Head. Slice 80/155. Axial slice. Image covers 240 mm x 240 mm.
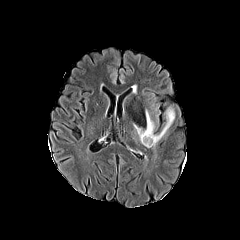
FLAIR MR.
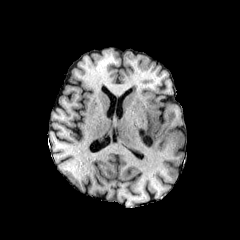
T1-weighted MRI.
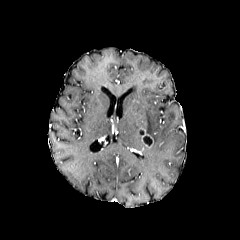
Post-contrast T1-weighted magnetic resonance of the same slice.
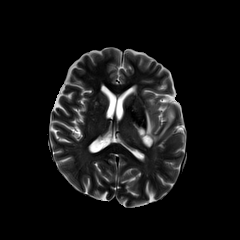
T2-weighted MRI.
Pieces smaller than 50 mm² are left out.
enhancing_tumor:
  - bbox(138, 128, 153, 147)
peritumoral_edema:
  - bbox(145, 107, 174, 145)
necrotic_tumor_core:
  - bbox(143, 136, 151, 145)